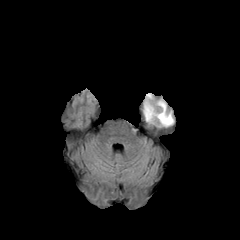
FLAIR MR.
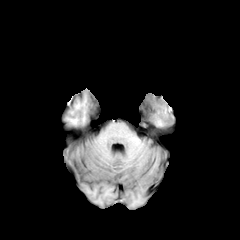
T1-weighted MRI.
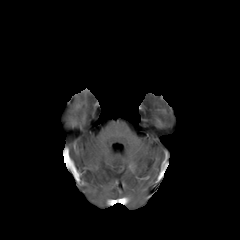
Post-contrast T1-weighted magnetic resonance.
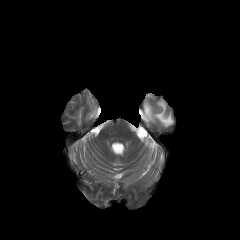
Same slice, T2-weighted MR.
Brain | Axial view | 240x240 px
peritumoral edema at bbox=[144, 93, 173, 126]